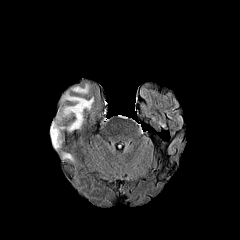
FLAIR MRI.
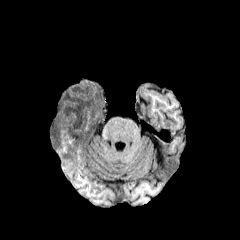
Same slice, T1-weighted MR.
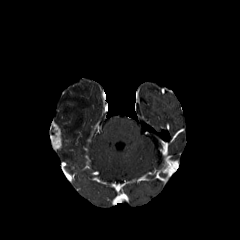
Same slice, post-contrast T1-weighted MR image.
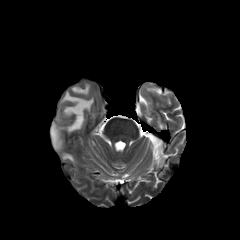
Same slice, T2-weighted magnetic resonance.
Axial view | Image size 240x240
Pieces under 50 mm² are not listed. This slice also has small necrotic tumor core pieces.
{"peritumoral_edema": ["(62,153,73,160)", "(71,84,88,93)", "(62,92,93,131)"], "enhancing_tumor": ["(50,121,61,150)"]}